Axial slice, Brain, Slice 67/155
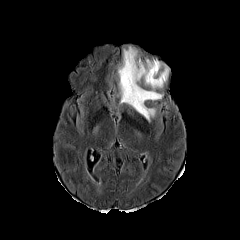
FLAIR MRI.
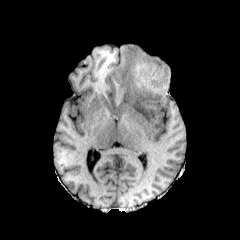
T1-weighted MRI of the same slice.
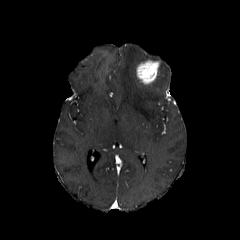
Post-contrast T1-weighted MR image of the same slice.
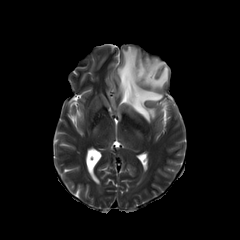
T2-weighted magnetic resonance.
enhancing tumor: [136, 61, 160, 84] | peritumoral edema: [118, 46, 168, 122]